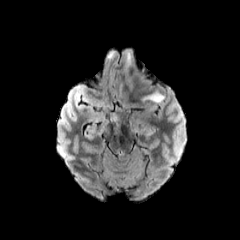
FLAIR MRI.
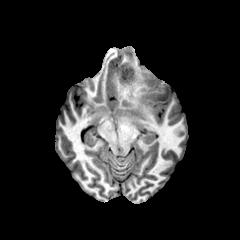
T1-weighted MR image.
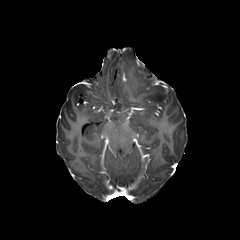
Post-contrast T1-weighted magnetic resonance.
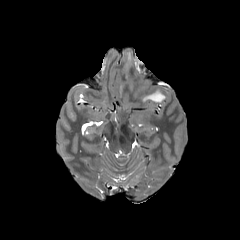
T2-weighted MRI.
Axial plane; Image size 240x240
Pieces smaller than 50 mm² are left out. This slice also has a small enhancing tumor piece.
2 peritumoral edema regions are located at (left=143, top=91, right=164, bottom=102), (left=124, top=51, right=132, bottom=71).